Head.
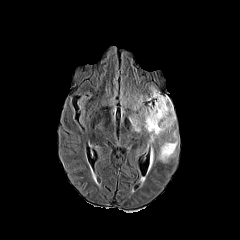
FLAIR MRI.
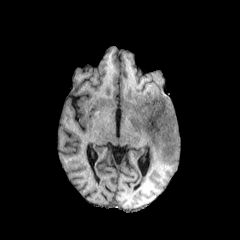
Same slice, T1-weighted MR.
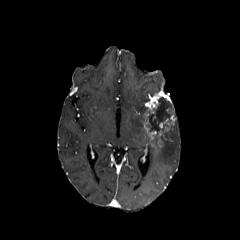
Same slice, post-contrast T1-weighted MR image.
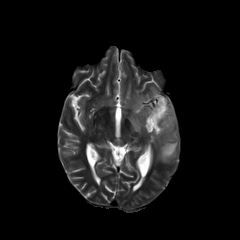
T2-weighted magnetic resonance.
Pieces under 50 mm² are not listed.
peritumoral_edema:
  - bbox(130, 107, 147, 132)
  - bbox(135, 95, 149, 108)
  - bbox(158, 125, 178, 162)
enhancing_tumor:
  - bbox(142, 91, 176, 147)
necrotic_tumor_core:
  - bbox(148, 97, 172, 134)